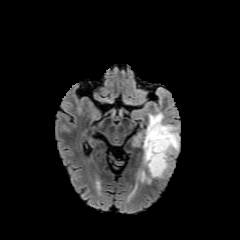
FLAIR magnetic resonance.
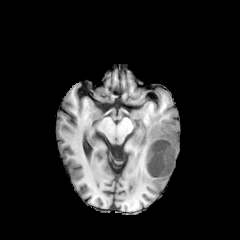
T1-weighted MR image.
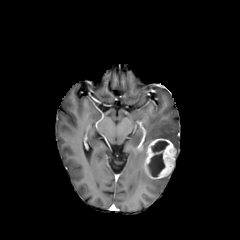
Post-contrast T1-weighted MR image.
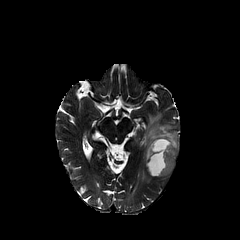
T2-weighted MR.
Axial plane; Image size 240x240
2 necrotic tumor core regions appear at [151,141,168,152], [148,153,164,177]. The enhancing tumor is at [144,138,176,178]. 2 peritumoral edema regions appear at [143,112,179,161], [139,170,150,182].